Brain; Slice 102/155; Axial view; Image size 240x240
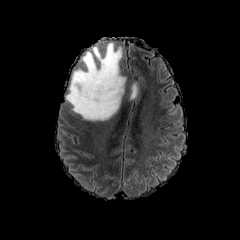
FLAIR MRI.
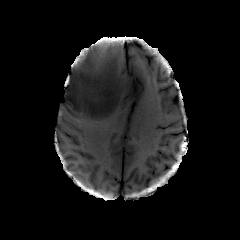
T1-weighted MRI of the same slice.
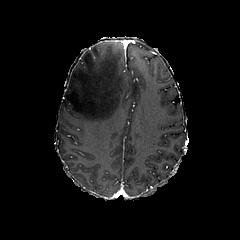
Post-contrast T1-weighted MR.
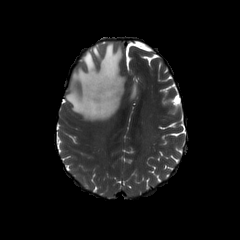
T2-weighted magnetic resonance.
peritumoral edema — (130, 85, 137, 99), (66, 42, 125, 121)